FLAIR MR.
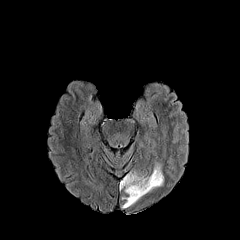
T1-weighted MRI.
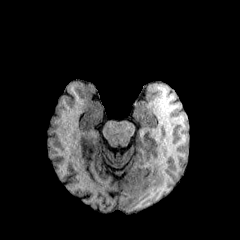
Post-contrast T1-weighted magnetic resonance.
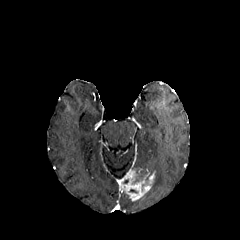
T2-weighted MRI.
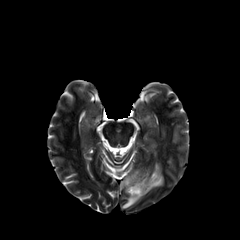
Head
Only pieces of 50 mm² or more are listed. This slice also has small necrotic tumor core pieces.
The enhancing tumor lies within <box>119,169,155,201</box>. The 2 largest peritumoral edema regions appear at <box>122,196,136,208</box>, <box>146,163,163,193</box>.